FLAIR MRI.
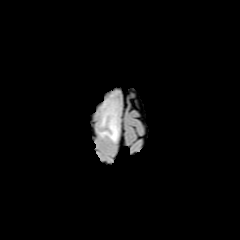
T1-weighted magnetic resonance.
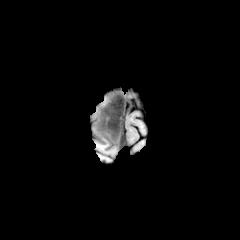
Post-contrast T1-weighted magnetic resonance.
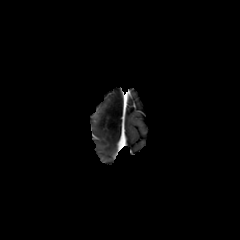
T2-weighted magnetic resonance.
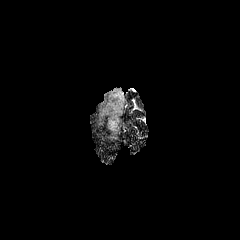
Axial slice. Brain.
The peritumoral edema appears at region(97, 92, 120, 142).